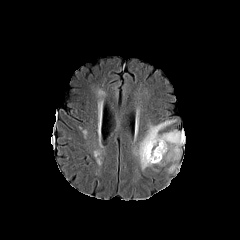
FLAIR MR.
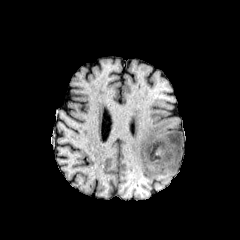
T1-weighted MR image of the same slice.
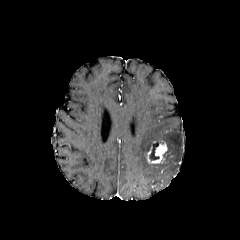
Post-contrast T1-weighted MR image.
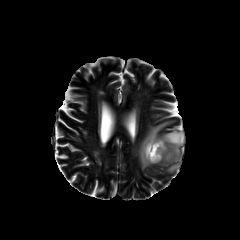
Same slice, T2-weighted MR image.
Brain
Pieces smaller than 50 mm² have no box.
enhancing tumor at 146, 140, 167, 163
necrotic tumor core at 150, 141, 159, 160
peritumoral edema at 134, 120, 184, 170; 168, 164, 179, 172